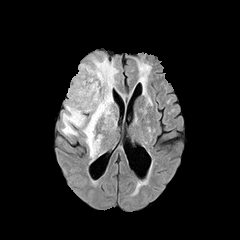
FLAIR MR.
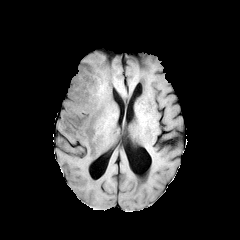
T1-weighted MR.
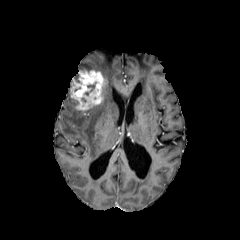
Post-contrast T1-weighted magnetic resonance of the same slice.
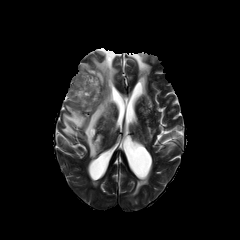
T2-weighted MRI.
Brain
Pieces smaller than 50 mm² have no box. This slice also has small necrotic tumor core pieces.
peritumoral edema: box(62, 56, 118, 159) | enhancing tumor: box(70, 69, 107, 110)